FLAIR magnetic resonance.
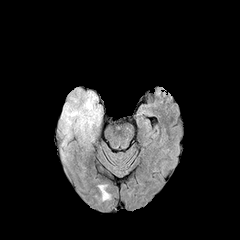
T1-weighted MR.
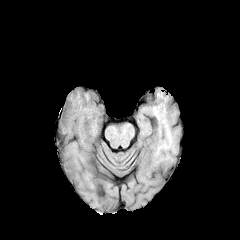
Post-contrast T1-weighted MR image.
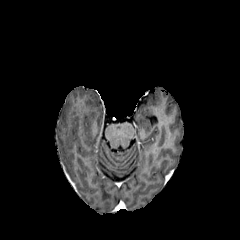
T2-weighted MRI.
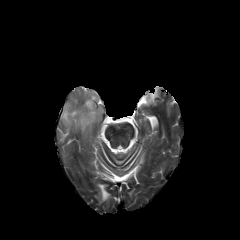
Head | 240x240 px | Axial slice
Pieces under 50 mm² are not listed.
{"peritumoral_edema": ["left=58, top=87, right=103, bottom=163"]}